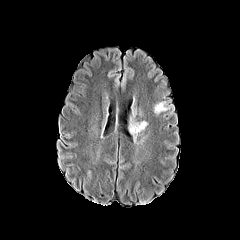
FLAIR MR.
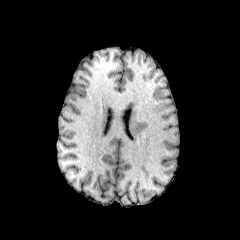
Same slice, T1-weighted MR.
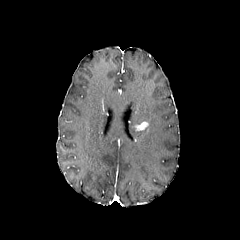
Same slice, post-contrast T1-weighted magnetic resonance.
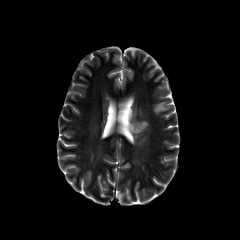
Same slice, T2-weighted MR.
Head. Image size 240x240.
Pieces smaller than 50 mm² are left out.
The 2 largest peritumoral edema regions appear at 130:120:143:138, 154:102:168:113. The enhancing tumor is at 132:121:148:130.